FLAIR MR.
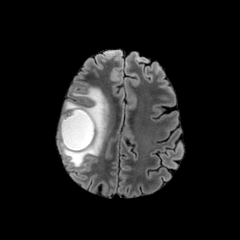
T1-weighted MR image.
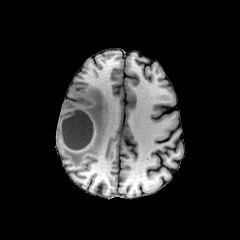
Post-contrast T1-weighted magnetic resonance.
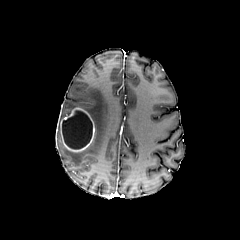
T2-weighted MR image.
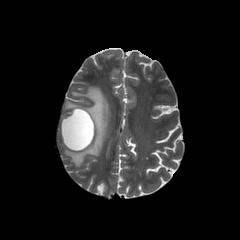
Axial view
{"enhancing_tumor": [{"x1": 59, "y1": 107, "x2": 95, "y2": 152}], "necrotic_tumor_core": [{"x1": 62, "y1": 110, "x2": 92, "y2": 149}], "peritumoral_edema": [{"x1": 58, "y1": 87, "x2": 108, "y2": 167}]}